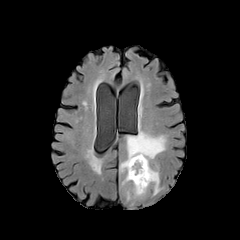
FLAIR MR.
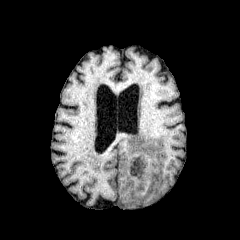
T1-weighted MR.
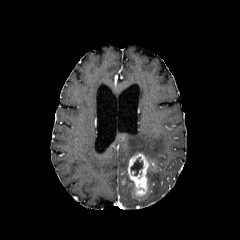
Post-contrast T1-weighted MR.
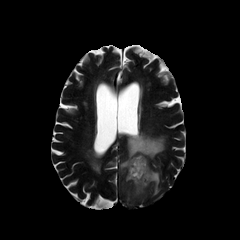
T2-weighted MRI of the same slice.
240x240
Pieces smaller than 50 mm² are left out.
The largest necrotic tumor core region lies within (131, 158, 143, 175). The enhancing tumor lies within (127, 153, 149, 197). The 2 largest peritumoral edema regions are located at (120, 131, 166, 171), (147, 167, 160, 195).